FLAIR MRI.
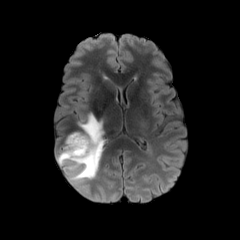
T1-weighted magnetic resonance.
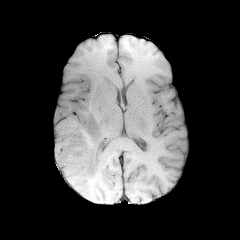
Post-contrast T1-weighted magnetic resonance.
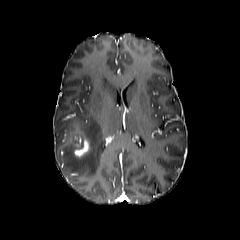
T2-weighted magnetic resonance.
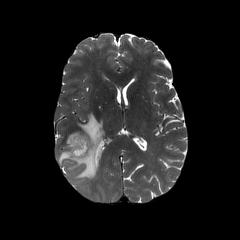
Brain
<segmentation>
  <peritumoral_edema>left=56, top=113, right=104, bottom=180</peritumoral_edema>
  <enhancing_tumor>left=73, top=137, right=90, bottom=157</enhancing_tumor>
</segmentation>